FLAIR MR image.
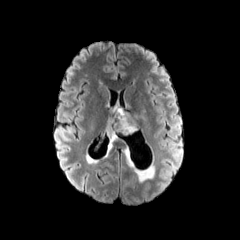
T1-weighted MR image.
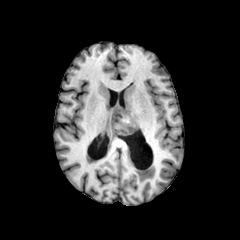
Post-contrast T1-weighted MR image.
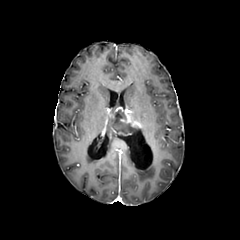
T2-weighted MR.
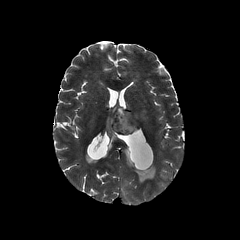
Head
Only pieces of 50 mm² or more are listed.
Segmented structures:
* peritumoral edema: <bbox>107, 119, 115, 147</bbox>
* enhancing tumor: <bbox>108, 105, 138, 136</bbox>
* necrotic tumor core: <bbox>113, 110, 136, 132</bbox>